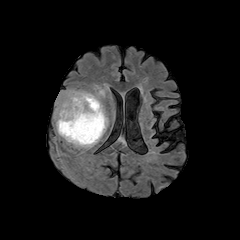
FLAIR MR image.
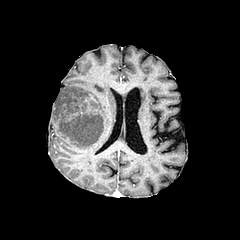
T1-weighted MR image.
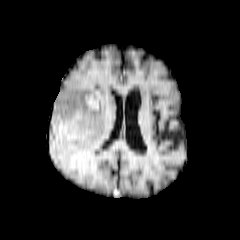
Post-contrast T1-weighted MRI.
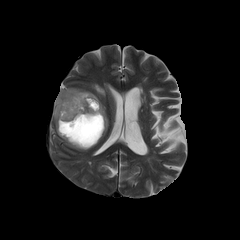
Same slice, T2-weighted MR.
Head | Axial view
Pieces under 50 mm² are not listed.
The enhancing tumor lies within bbox=[85, 92, 98, 109]. The largest peritumoral edema region is at bbox=[54, 88, 108, 149]. The necrotic tumor core is bounded by bbox=[59, 115, 102, 144].